FLAIR MR.
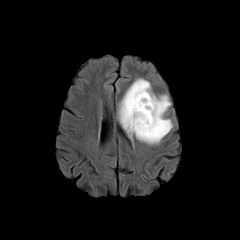
T1-weighted MR.
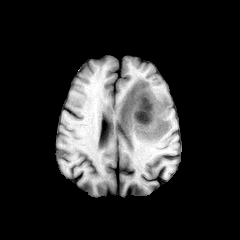
Post-contrast T1-weighted magnetic resonance.
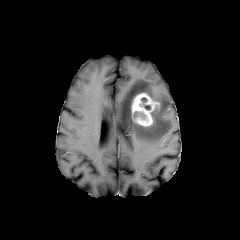
T2-weighted MR.
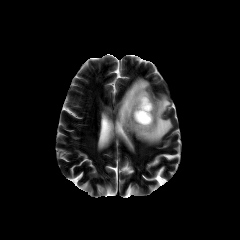
Axial view.
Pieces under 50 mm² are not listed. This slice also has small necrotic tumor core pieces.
peritumoral edema: bounding box 117, 78, 172, 144
enhancing tumor: bounding box 131, 93, 159, 127